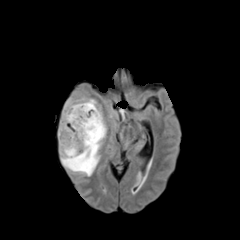
FLAIR magnetic resonance.
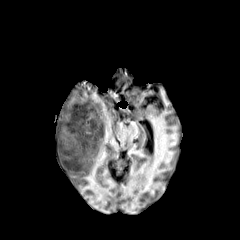
Same slice, T1-weighted MR.
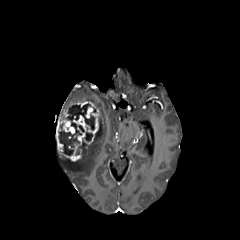
Post-contrast T1-weighted MRI of the same slice.
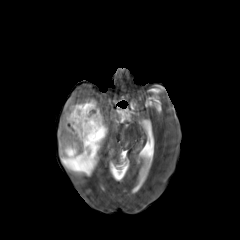
Same slice, T2-weighted MR.
Axial view; Brain
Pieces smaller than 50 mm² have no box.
Findings:
* enhancing tumor: box(56, 100, 101, 161)
* peritumoral edema: box(61, 120, 106, 176)
* necrotic tumor core: box(94, 118, 101, 141); box(59, 103, 94, 155); box(85, 132, 92, 141)